240x240 | Brain
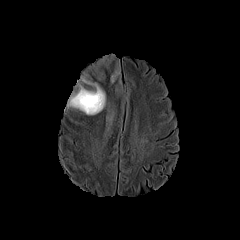
FLAIR MRI.
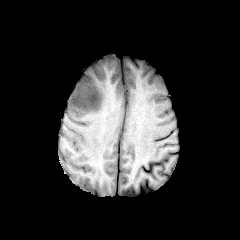
T1-weighted MR image.
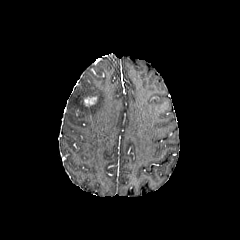
Post-contrast T1-weighted MR.
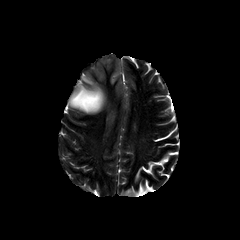
T2-weighted MRI of the same slice.
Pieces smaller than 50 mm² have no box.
{
  "peritumoral_edema": [
    "68,53,121,115"
  ],
  "enhancing_tumor": [
    "83,96,97,106"
  ]
}